Axial view | Slice 81/155 | Image width 240 mm, 1.00 mm slice spacing
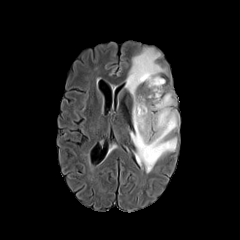
FLAIR MR.
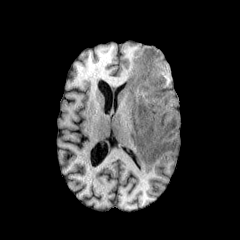
T1-weighted MRI of the same slice.
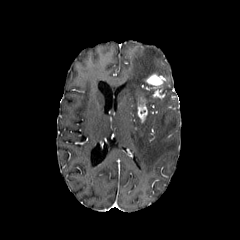
Post-contrast T1-weighted magnetic resonance.
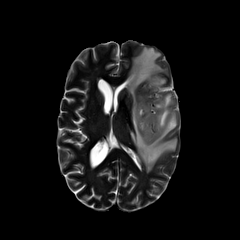
Same slice, T2-weighted MRI.
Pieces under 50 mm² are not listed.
enhancing tumor at [137,97,147,122], [145,73,165,97]
peritumoral edema at [125,48,178,173]